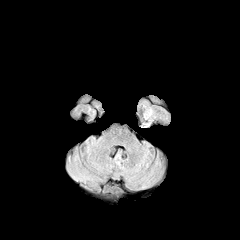
FLAIR MR image.
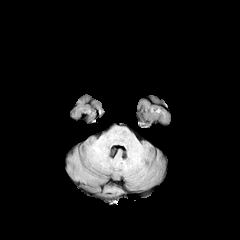
Same slice, T1-weighted MRI.
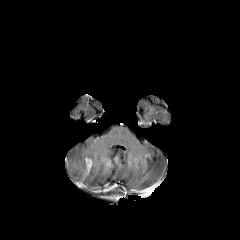
Post-contrast T1-weighted MRI.
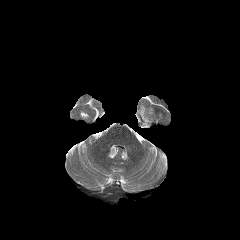
T2-weighted MRI.
Axial slice; Brain
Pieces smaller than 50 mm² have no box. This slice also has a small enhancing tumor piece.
The largest peritumoral edema region appears at x1=143 y1=106 x2=155 y2=123.